Head; Slice 64 of 155; Axial view
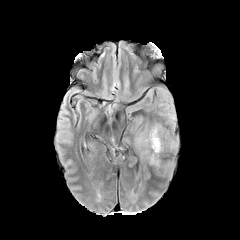
FLAIR magnetic resonance.
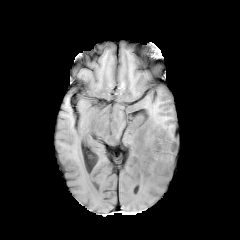
T1-weighted MR of the same slice.
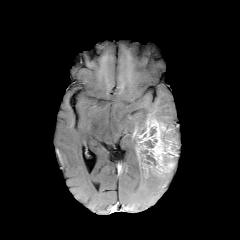
Post-contrast T1-weighted MR.
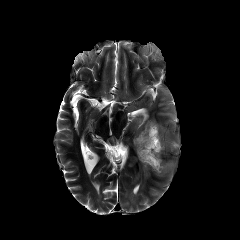
T2-weighted magnetic resonance.
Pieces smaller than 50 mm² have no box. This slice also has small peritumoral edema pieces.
enhancing_tumor:
  - l=134, t=120, r=177, b=176
necrotic_tumor_core:
  - l=145, t=140, r=153, b=147
  - l=146, t=155, r=156, b=165